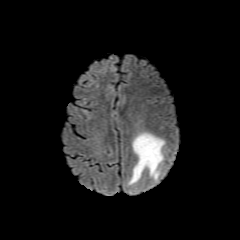
FLAIR MR.
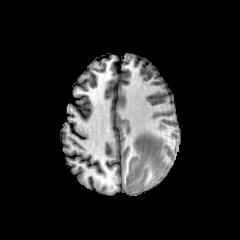
Same slice, T1-weighted MR.
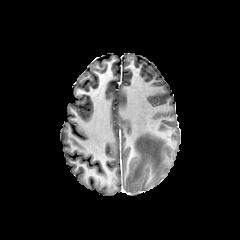
Post-contrast T1-weighted MR of the same slice.
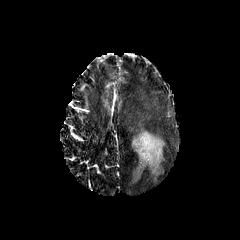
Same slice, T2-weighted MR.
Image size 240x240
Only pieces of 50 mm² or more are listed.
Segmented structures:
• peritumoral edema: 128:131:165:185